Head; Image width 240 mm; 240x240
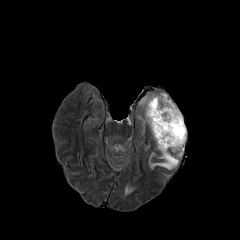
FLAIR MR.
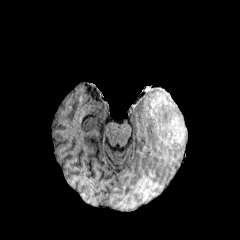
T1-weighted magnetic resonance of the same slice.
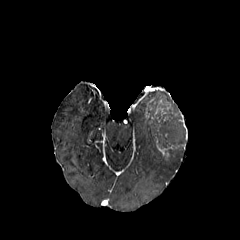
Post-contrast T1-weighted MRI.
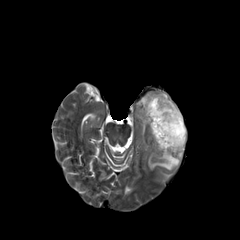
T2-weighted magnetic resonance.
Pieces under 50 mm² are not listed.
The 2 largest peritumoral edema regions appear at {"x1": 149, "y1": 148, "x2": 183, "y2": 169}, {"x1": 161, "y1": 93, "x2": 178, "y2": 110}. The largest necrotic tumor core region is located at {"x1": 148, "y1": 100, "x2": 185, "y2": 148}. The largest enhancing tumor region appears at {"x1": 158, "y1": 144, "x2": 179, "y2": 156}.